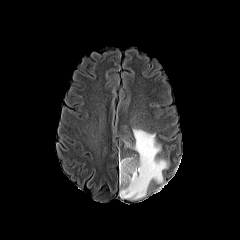
FLAIR MRI.
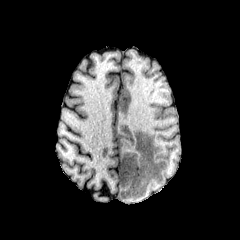
Same slice, T1-weighted magnetic resonance.
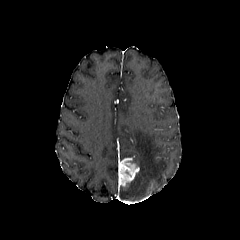
Same slice, post-contrast T1-weighted MRI.
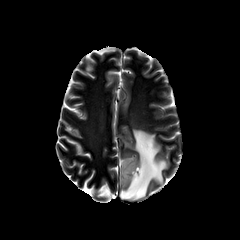
T2-weighted MRI.
Axial plane
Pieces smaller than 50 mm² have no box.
peritumoral_edema:
  - 119, 128, 168, 199
enhancing_tumor:
  - 118, 158, 139, 186